Image size 240x240; Axial view; Brain
FLAIR MR image.
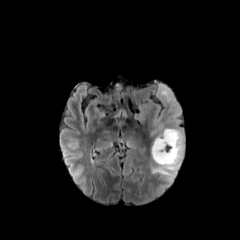
T1-weighted MR image.
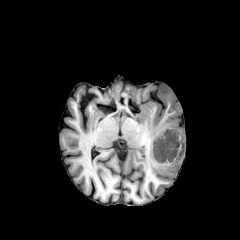
Post-contrast T1-weighted magnetic resonance.
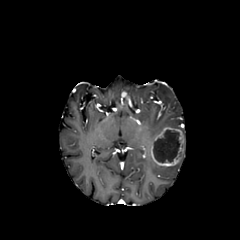
T2-weighted MR image.
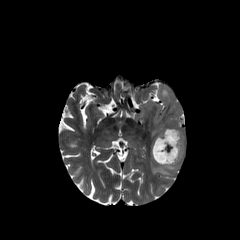
{
  "peritumoral_edema": [
    "151:159:181:180",
    "134:82:184:136"
  ],
  "enhancing_tumor": [
    "151:127:184:166"
  ],
  "necrotic_tumor_core": [
    "153:130:180:162"
  ]
}